FLAIR MR.
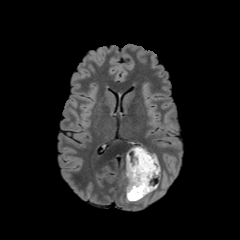
T1-weighted MRI.
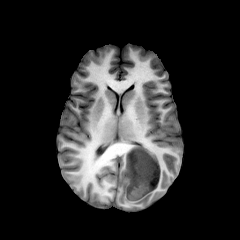
Post-contrast T1-weighted MR image.
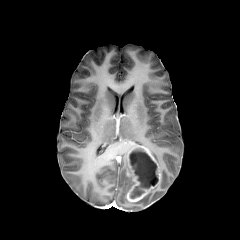
T2-weighted magnetic resonance.
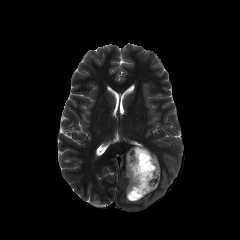
Axial view; 240x240; Head
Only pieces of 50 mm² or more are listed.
enhancing tumor: box=[126, 146, 160, 201] | peritumoral edema: box=[126, 177, 134, 195] | necrotic tumor core: box=[129, 149, 158, 198]